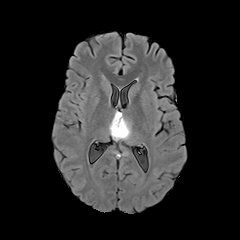
FLAIR magnetic resonance.
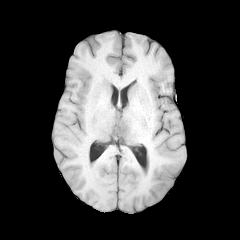
T1-weighted MR image of the same slice.
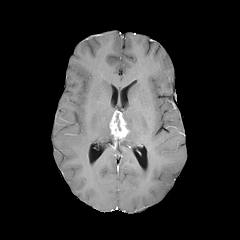
Post-contrast T1-weighted MR image of the same slice.
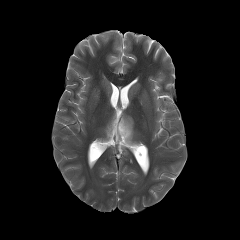
T2-weighted MR.
Brain, 240x240
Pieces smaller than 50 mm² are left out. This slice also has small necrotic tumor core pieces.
{"peritumoral_edema": ["x1=121 y1=115 x2=131 y2=142"], "enhancing_tumor": ["x1=110 y1=111 x2=129 y2=140"]}